Slice 72 of 155 | Head
FLAIR MR.
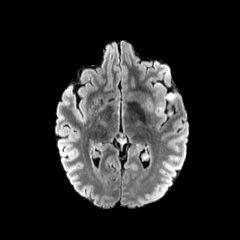
T1-weighted MRI.
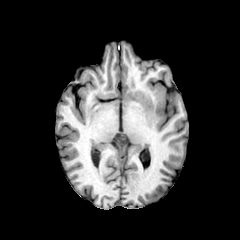
Post-contrast T1-weighted magnetic resonance.
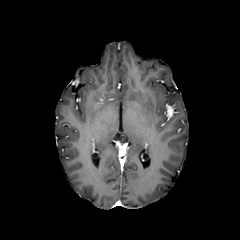
T2-weighted MR image.
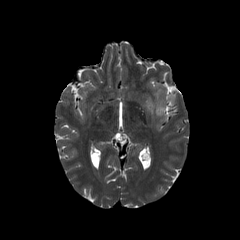
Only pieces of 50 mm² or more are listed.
<segmentation>
  <enhancing_tumor>x1=166, y1=105, x2=173, y2=117</enhancing_tumor>
  <peritumoral_edema>x1=164, y1=93, x2=176, y2=102; x1=155, y1=106, x2=166, y2=119</peritumoral_edema>
</segmentation>